FLAIR MR.
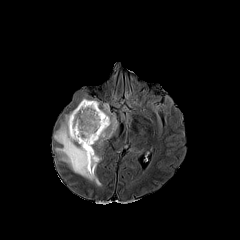
T1-weighted MRI.
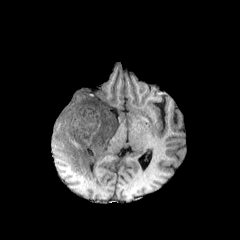
Post-contrast T1-weighted magnetic resonance.
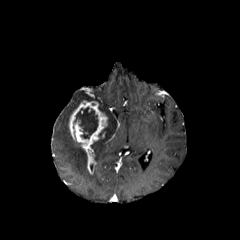
T2-weighted MRI.
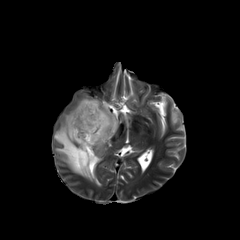
Axial plane.
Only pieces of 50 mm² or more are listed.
enhancing_tumor:
  - [69,100,107,174]
necrotic_tumor_core:
  - [74,107,97,138]
peritumoral_edema:
  - [94,151,101,166]
  - [92,103,117,147]
  - [54,110,101,186]